FLAIR MRI.
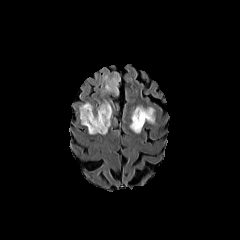
T1-weighted MR.
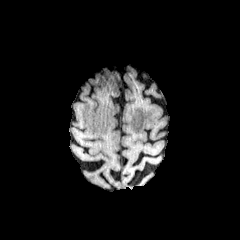
Post-contrast T1-weighted MR.
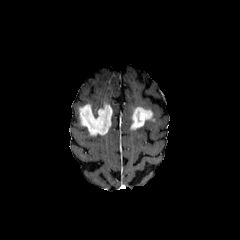
T2-weighted MR image.
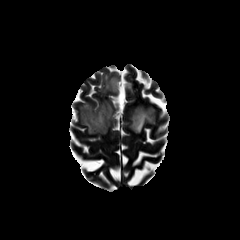
Head | Axial slice
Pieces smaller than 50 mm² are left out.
enhancing tumor: bbox(79, 103, 112, 135); bbox(130, 107, 154, 129) | peritumoral edema: bbox(101, 72, 120, 95); bbox(79, 100, 109, 115); bbox(144, 107, 155, 124)